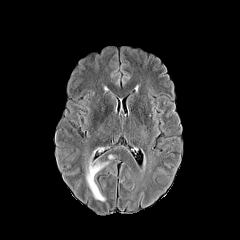
FLAIR MR.
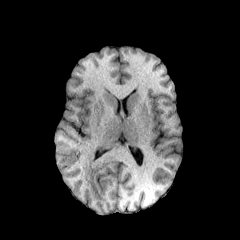
Same slice, T1-weighted MRI.
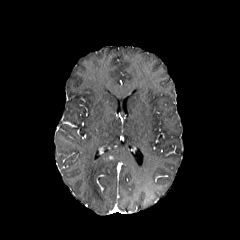
Post-contrast T1-weighted MRI of the same slice.
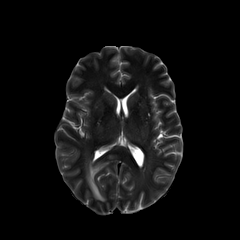
T2-weighted MRI.
Axial plane; 240x240 px
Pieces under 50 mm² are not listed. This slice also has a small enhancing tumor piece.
Annotated regions:
• peritumoral edema: l=86, t=155, r=108, b=201